FLAIR MRI.
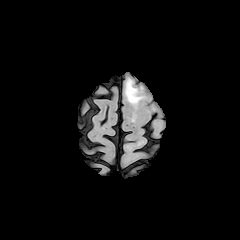
T1-weighted magnetic resonance.
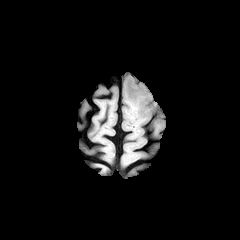
Post-contrast T1-weighted MR.
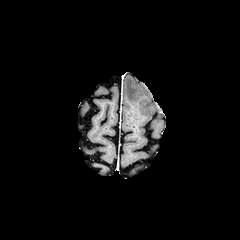
T2-weighted MR.
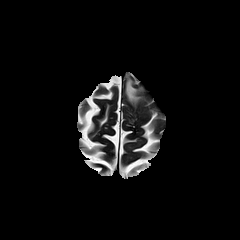
240x240
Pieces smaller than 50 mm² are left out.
The largest peritumoral edema region is bounded by 125:78:142:104.